Slice 98/155. Brain. Image size 240x240.
FLAIR MR.
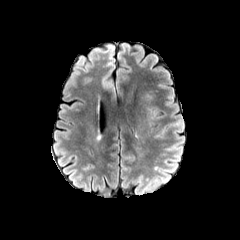
T1-weighted MR.
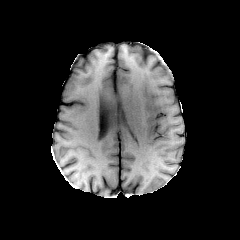
Post-contrast T1-weighted MR image.
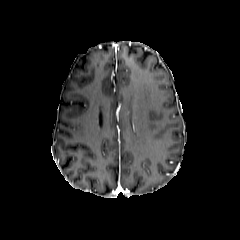
T2-weighted MR image.
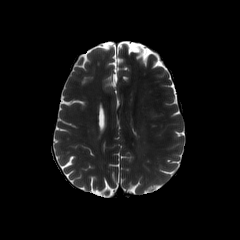
{"peritumoral_edema": ["box=[146, 106, 158, 125]"]}